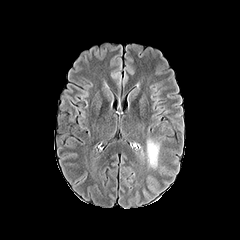
FLAIR MRI.
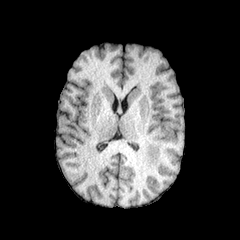
T1-weighted MRI of the same slice.
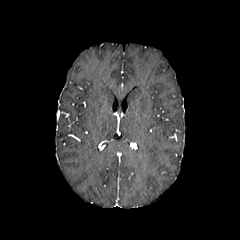
Post-contrast T1-weighted MR image.
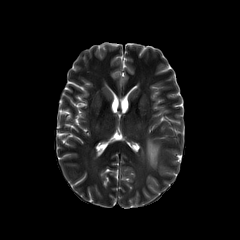
Same slice, T2-weighted MRI.
Axial view; Brain
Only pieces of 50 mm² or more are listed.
<segmentation>
  <peritumoral_edema>[147,140,159,168]</peritumoral_edema>
</segmentation>